Slice index 39, Axial view
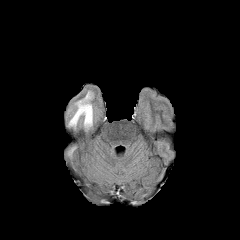
FLAIR MR image.
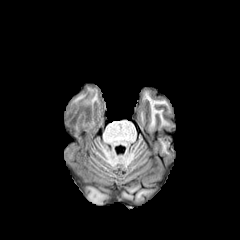
T1-weighted magnetic resonance.
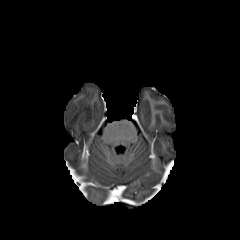
Same slice, post-contrast T1-weighted MR image.
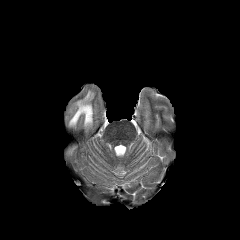
Same slice, T2-weighted MRI.
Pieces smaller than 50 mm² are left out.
<segmentation>
  <peritumoral_edema>[69,91,93,128]</peritumoral_edema>
</segmentation>